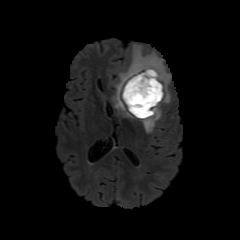
FLAIR MR.
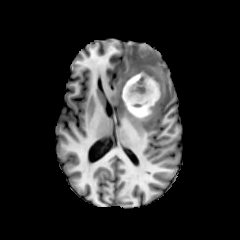
T1-weighted MR of the same slice.
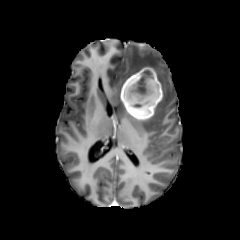
Post-contrast T1-weighted magnetic resonance.
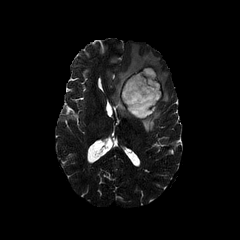
T2-weighted MR image.
Head | 240x240
peritumoral_edema:
  - 112,45,170,132
enhancing_tumor:
  - 120,67,162,119
necrotic_tumor_core:
  - 123,70,159,116